Axial plane, Image size 240x240
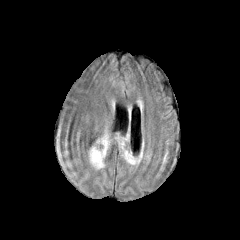
FLAIR MRI.
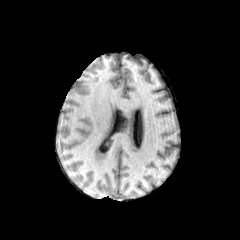
T1-weighted MRI.
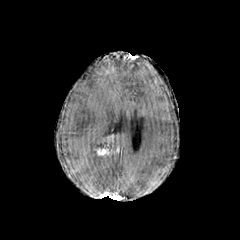
Post-contrast T1-weighted MRI.
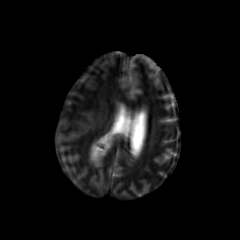
T2-weighted MRI.
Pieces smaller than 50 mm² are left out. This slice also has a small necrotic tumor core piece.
The largest peritumoral edema region is bounded by 90, 146, 105, 168. The enhancing tumor is at 95, 134, 118, 155.